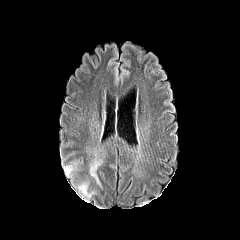
FLAIR MR.
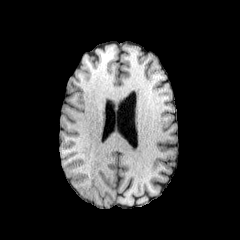
T1-weighted MRI.
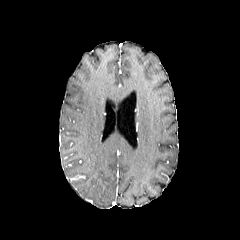
Post-contrast T1-weighted MR image.
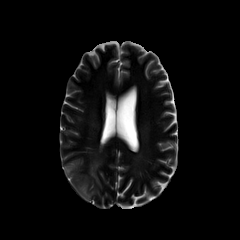
Same slice, T2-weighted magnetic resonance.
Axial view. Brain.
peritumoral_edema:
  - rect(90, 161, 99, 184)
  - rect(78, 183, 93, 198)
  - rect(64, 167, 72, 175)